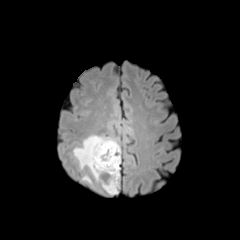
FLAIR MR image.
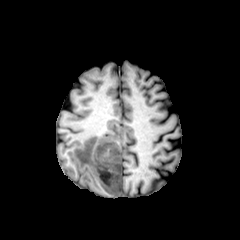
Same slice, T1-weighted MRI.
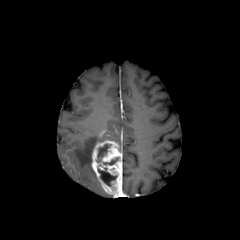
Post-contrast T1-weighted magnetic resonance.
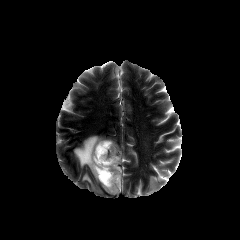
T2-weighted MR.
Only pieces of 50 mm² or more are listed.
Segmented structures:
• enhancing tumor: l=91, t=140, r=121, b=195
• peritumoral edema: l=73, t=135, r=116, b=181; l=82, t=174, r=92, b=183
• necrotic tumor core: l=98, t=168, r=116, b=186; l=97, t=144, r=110, b=162; l=103, t=157, r=118, b=164